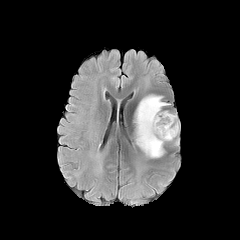
FLAIR MRI.
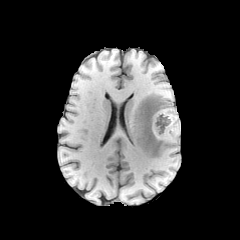
T1-weighted MR image.
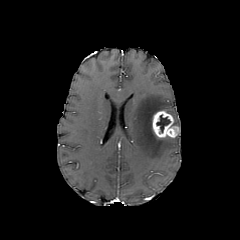
Post-contrast T1-weighted MR image of the same slice.
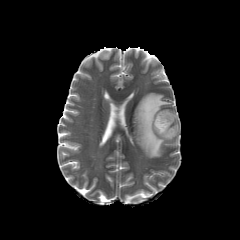
T2-weighted magnetic resonance.
Brain. Axial view.
necrotic tumor core: {"x1": 156, "y1": 115, "x2": 170, "y2": 132} | enhancing tumor: {"x1": 152, "y1": 111, "x2": 179, "y2": 138} | peritumoral edema: {"x1": 167, "y1": 111, "x2": 180, "y2": 127}, {"x1": 134, "y1": 94, "x2": 173, "y2": 157}